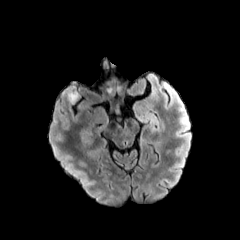
FLAIR MR image.
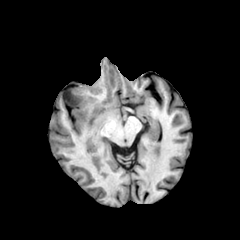
T1-weighted MR image of the same slice.
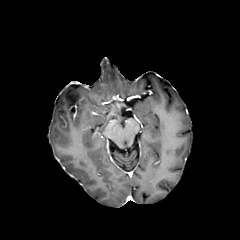
Post-contrast T1-weighted MRI.
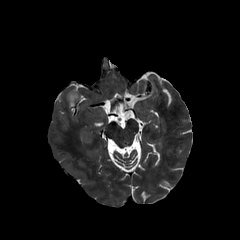
Same slice, T2-weighted MRI.
240x240, Brain, Axial plane
The peritumoral edema lies within (67, 91, 79, 103).